FLAIR MRI.
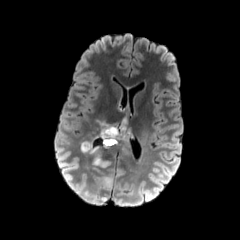
T1-weighted magnetic resonance.
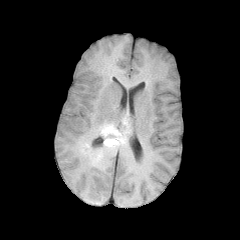
Post-contrast T1-weighted MR image.
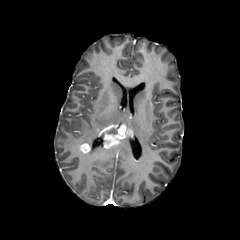
T2-weighted magnetic resonance.
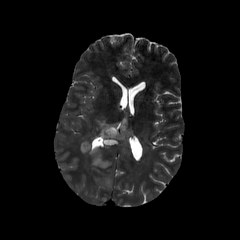
Brain
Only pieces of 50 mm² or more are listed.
Annotated regions:
• peritumoral edema: 99,121,117,129; 112,137,131,156; 141,132,146,145; 102,176,112,186; 81,132,110,167
• necrotic tumor core: 101,125,120,138
• enhancing tumor: 99,122,131,148; 80,143,90,152